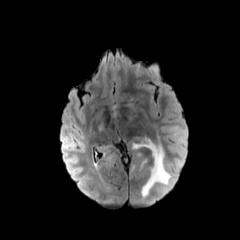
FLAIR MR image.
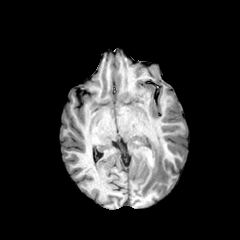
T1-weighted MR image.
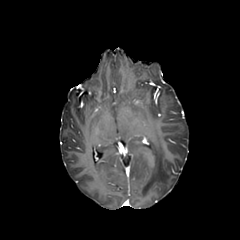
Post-contrast T1-weighted magnetic resonance.
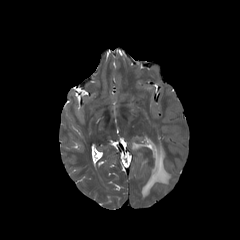
Same slice, T2-weighted MR.
Axial view.
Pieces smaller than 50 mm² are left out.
peritumoral edema — (left=132, top=143, right=146, bottom=148), (left=141, top=142, right=170, bottom=197)